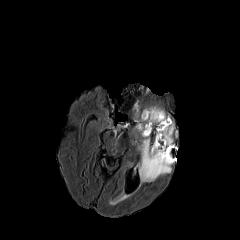
FLAIR MRI.
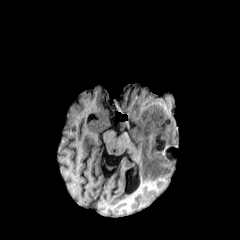
T1-weighted magnetic resonance.
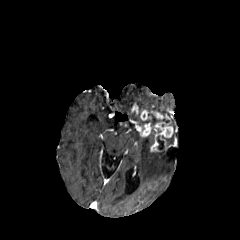
Post-contrast T1-weighted magnetic resonance.
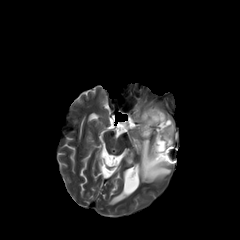
Same slice, T2-weighted MRI.
Brain.
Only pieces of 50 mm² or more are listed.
The 2 largest peritumoral edema regions are bounded by [138, 135, 175, 182], [144, 106, 165, 115]. The enhancing tumor is at [136, 110, 173, 151]. The 2 largest necrotic tumor core regions are located at [157, 136, 163, 148], [144, 113, 159, 125].